240x240
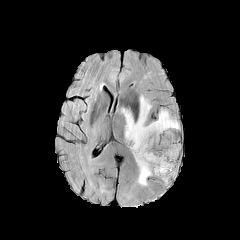
FLAIR MRI.
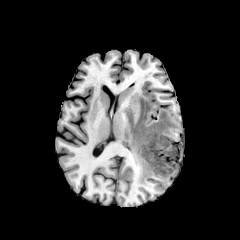
T1-weighted MR of the same slice.
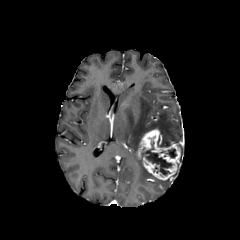
Same slice, post-contrast T1-weighted MRI.
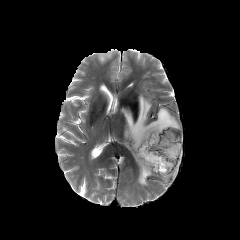
Same slice, T2-weighted magnetic resonance.
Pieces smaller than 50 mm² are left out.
{"peritumoral_edema": ["121, 95, 179, 185"], "necrotic_tumor_core": ["168, 149, 176, 157", "142, 150, 172, 174"], "enhancing_tumor": ["137, 128, 181, 180"]}